240x240. Axial view.
FLAIR MR image.
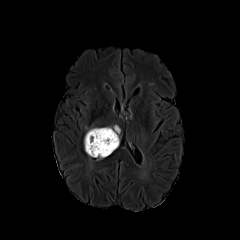
T1-weighted MR image.
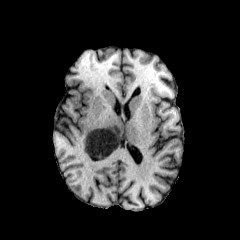
Post-contrast T1-weighted magnetic resonance.
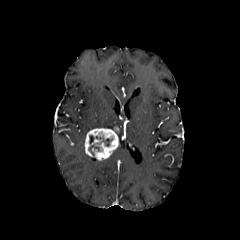
T2-weighted MR.
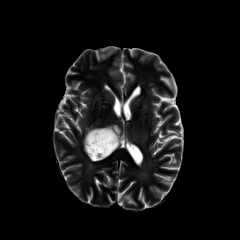
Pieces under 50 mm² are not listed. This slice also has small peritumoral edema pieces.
The enhancing tumor is at (left=84, top=126, right=119, bottom=159). The 2 largest necrotic tumor core regions are located at (left=102, top=138, right=112, bottom=146), (left=88, top=145, right=100, bottom=155).